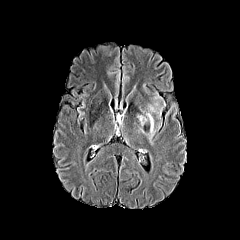
FLAIR magnetic resonance.
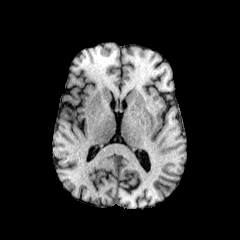
Same slice, T1-weighted MR image.
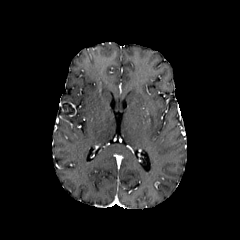
Post-contrast T1-weighted MR image.
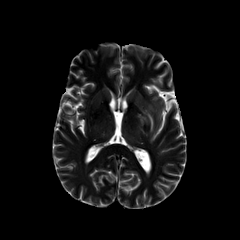
T2-weighted MR.
240x240 | Axial plane
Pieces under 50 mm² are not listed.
Findings:
* peritumoral edema: x1=146, y1=105, x2=155, y2=140; x1=137, y1=115, x2=146, y2=125